240x240 px. Brain.
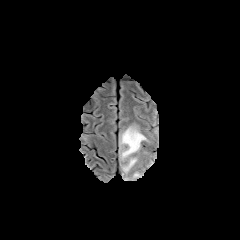
FLAIR MR.
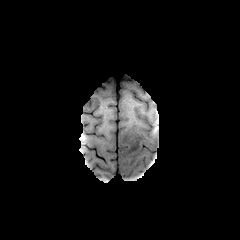
T1-weighted MR image.
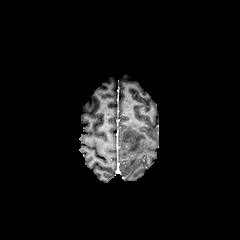
Same slice, post-contrast T1-weighted MR image.
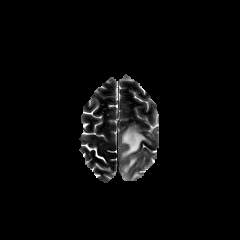
Same slice, T2-weighted MR image.
peritumoral edema = 131, 172, 141, 180; 120, 126, 147, 174